Brain | Axial view | 240x240
FLAIR MR image.
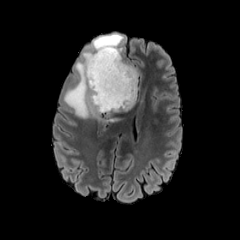
T1-weighted magnetic resonance.
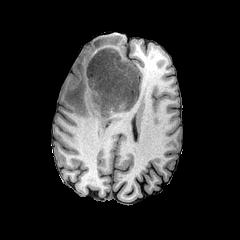
Post-contrast T1-weighted MR image.
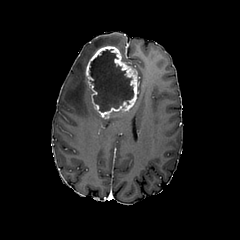
T2-weighted magnetic resonance.
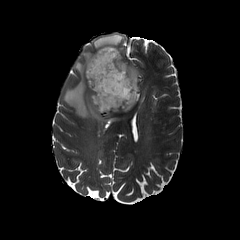
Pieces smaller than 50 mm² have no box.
necrotic_tumor_core:
  - 90:49:134:113
peritumoral_edema:
  - 64:34:123:127
enhancing_tumor:
  - 85:46:137:117